FLAIR MR.
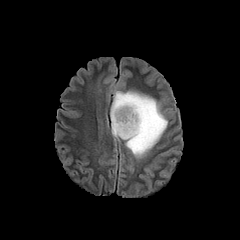
T1-weighted magnetic resonance.
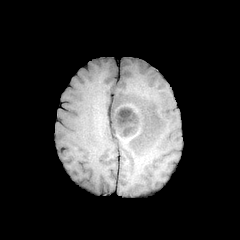
Post-contrast T1-weighted MR image.
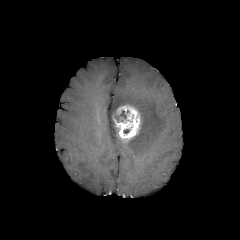
T2-weighted MRI.
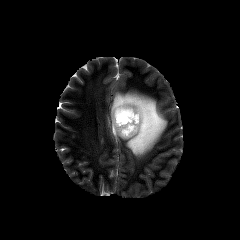
Axial plane
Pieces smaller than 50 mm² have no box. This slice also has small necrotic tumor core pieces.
The enhancing tumor is bounded by <bbox>112, 104, 141, 140</bbox>. The peritumoral edema is located at <bbox>110, 91, 167, 157</bbox>.